FLAIR MRI.
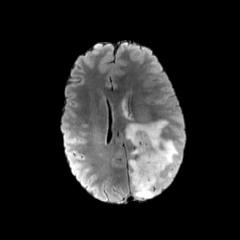
T1-weighted MRI.
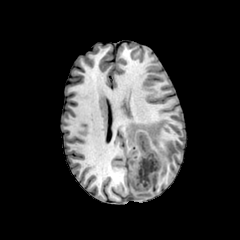
Post-contrast T1-weighted MRI.
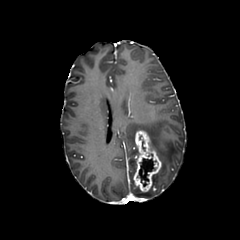
T2-weighted MRI.
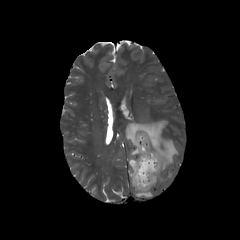
Brain
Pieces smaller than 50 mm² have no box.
<segmentation>
  <peritumoral_edema>rect(126, 120, 178, 186); rect(129, 159, 155, 197)</peritumoral_edema>
  <enhancing_tumor>rect(133, 130, 161, 191)</enhancing_tumor>
  <necrotic_tumor_core>rect(138, 158, 156, 186)</necrotic_tumor_core>
</segmentation>